Brain | Image size 240x240
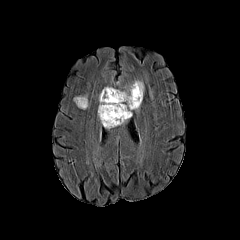
FLAIR MR.
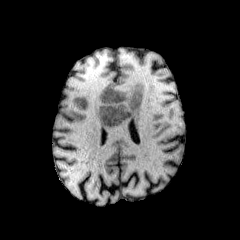
T1-weighted magnetic resonance.
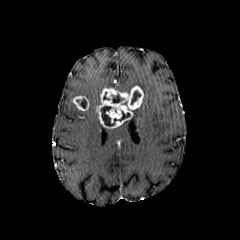
Same slice, post-contrast T1-weighted MR.
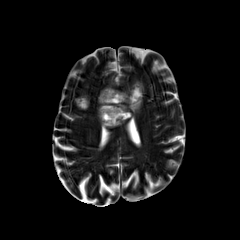
T2-weighted MRI.
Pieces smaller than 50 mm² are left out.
{
  "peritumoral_edema": [
    "region(125, 80, 144, 92)"
  ],
  "necrotic_tumor_core": [
    "region(100, 106, 116, 126)",
    "region(131, 91, 140, 104)",
    "region(112, 94, 124, 102)",
    "region(79, 99, 86, 108)"
  ],
  "enhancing_tumor": [
    "region(97, 85, 143, 128)",
    "region(73, 96, 89, 110)"
  ]
}